Brain, Image width 240 mm, 1.00 mm slice spacing
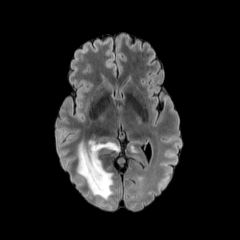
FLAIR MR.
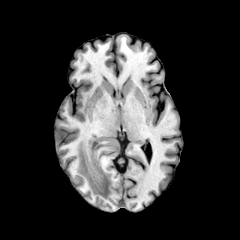
Same slice, T1-weighted MR image.
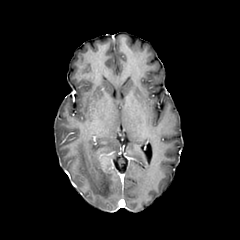
Post-contrast T1-weighted MRI.
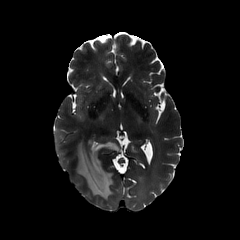
T2-weighted MR image.
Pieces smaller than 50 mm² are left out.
peritumoral_edema:
  - [76, 140, 119, 199]